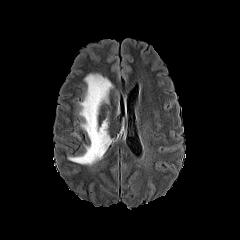
FLAIR MR.
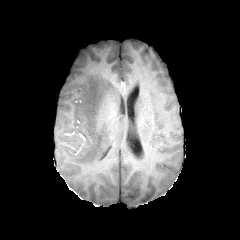
T1-weighted MR.
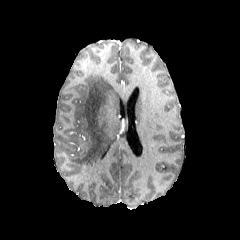
Post-contrast T1-weighted MRI.
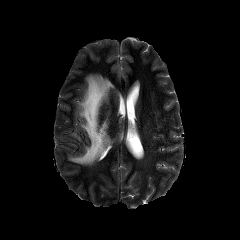
Same slice, T2-weighted MR.
240x240 | Head | Axial plane
peritumoral_edema:
  - <box>68,73,112,165</box>